FLAIR MR image.
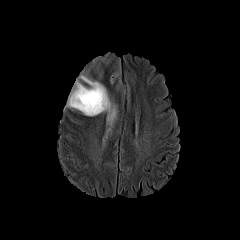
T1-weighted MR.
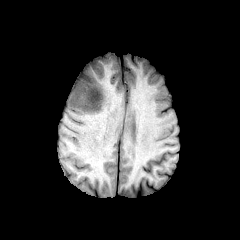
Post-contrast T1-weighted MR image.
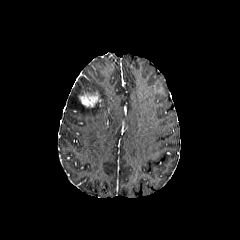
T2-weighted MR image.
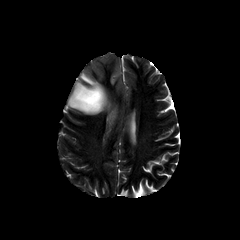
Axial view.
• enhancing tumor: [x1=79, y1=91, x2=100, y2=107]
• peritumoral edema: [x1=67, y1=54, x2=120, y2=131]